FLAIR MRI.
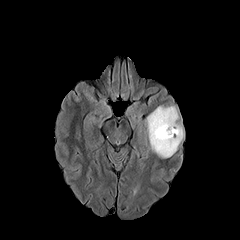
T1-weighted MRI.
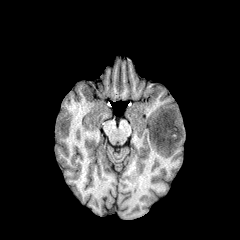
Post-contrast T1-weighted magnetic resonance.
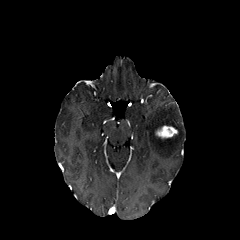
T2-weighted MR.
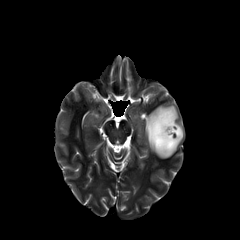
240x240
Segmented structures:
• enhancing tumor: l=155, t=125, r=177, b=138
• peritumoral edema: l=145, t=105, r=184, b=158